Image size 240x240, Axial view
FLAIR magnetic resonance.
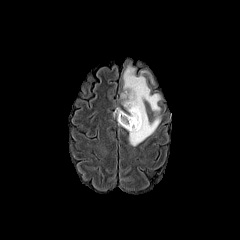
T1-weighted magnetic resonance.
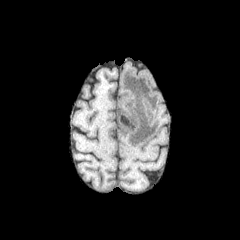
Post-contrast T1-weighted magnetic resonance.
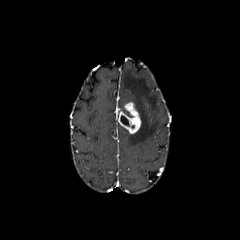
T2-weighted MRI.
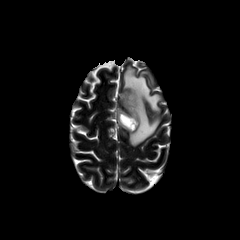
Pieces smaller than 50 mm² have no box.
<segmentation>
  <enhancing_tumor>bbox=[115, 102, 141, 133]</enhancing_tumor>
  <peritumoral_edema>bbox=[121, 61, 163, 146]</peritumoral_edema>
  <necrotic_tumor_core>bbox=[120, 115, 129, 126]</necrotic_tumor_core>
</segmentation>